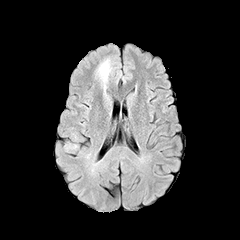
FLAIR MR.
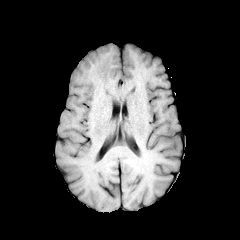
T1-weighted MR of the same slice.
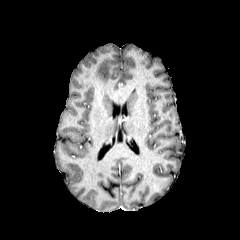
Same slice, post-contrast T1-weighted MR.
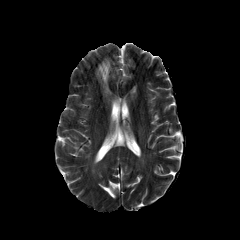
T2-weighted magnetic resonance of the same slice.
Brain
<segmentation>
  <peritumoral_edema>96,58,111,89</peritumoral_edema>
</segmentation>